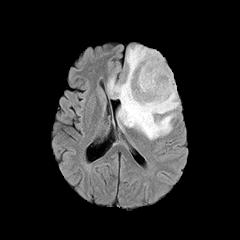
FLAIR MR image.
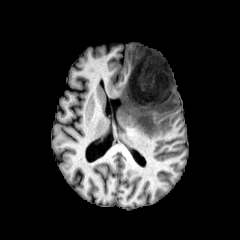
T1-weighted MR.
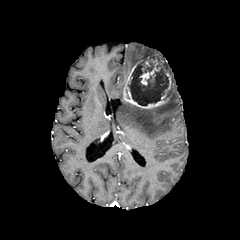
Post-contrast T1-weighted magnetic resonance of the same slice.
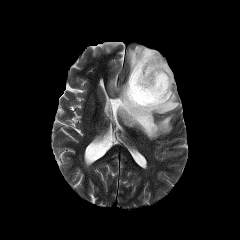
T2-weighted MR of the same slice.
Axial plane.
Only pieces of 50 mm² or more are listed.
necrotic tumor core at {"x1": 128, "y1": 54, "x2": 169, "y2": 105}
peritumoral edema at {"x1": 126, "y1": 45, "x2": 172, "y2": 78}, {"x1": 107, "y1": 78, "x2": 179, "y2": 139}
enhancing tumor at {"x1": 140, "y1": 59, "x2": 160, "y2": 85}, {"x1": 123, "y1": 60, "x2": 175, "y2": 108}